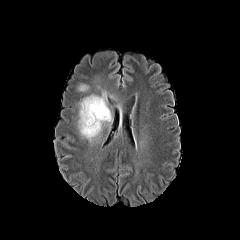
FLAIR MR image.
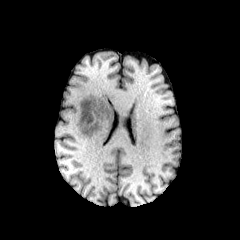
Same slice, T1-weighted magnetic resonance.
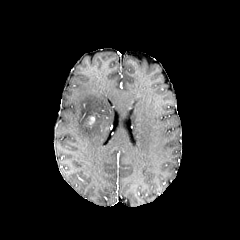
Same slice, post-contrast T1-weighted MR.
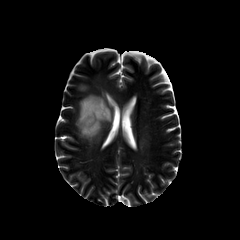
T2-weighted magnetic resonance.
Image size 240x240. Axial plane.
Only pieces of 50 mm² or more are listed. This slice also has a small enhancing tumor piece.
peritumoral edema: {"x1": 78, "y1": 91, "x2": 112, "y2": 141}